Image width 240 mm
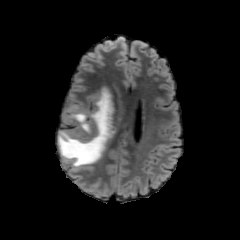
FLAIR MR.
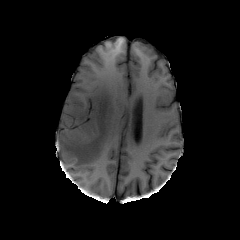
T1-weighted MRI of the same slice.
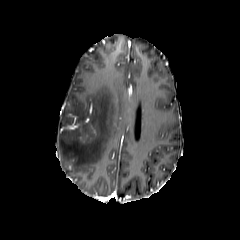
Post-contrast T1-weighted MRI.
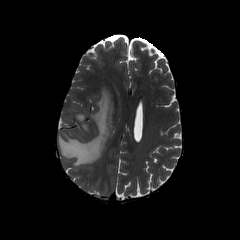
T2-weighted magnetic resonance of the same slice.
peritumoral edema at bbox(58, 87, 115, 167)